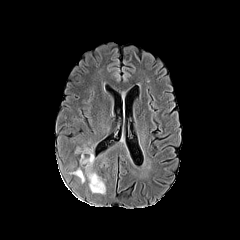
FLAIR magnetic resonance.
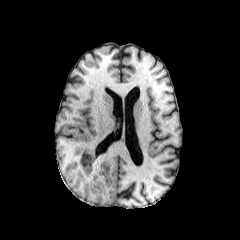
T1-weighted MR image.
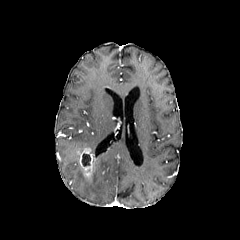
Post-contrast T1-weighted magnetic resonance.
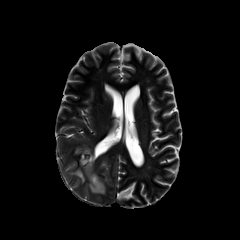
Same slice, T2-weighted MRI.
240x240, Axial plane, Head
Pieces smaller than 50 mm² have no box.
The necrotic tumor core lies within 82,154,90,166. The 2 largest peritumoral edema regions are bounded by 88,172,105,194; 74,169,85,182. The enhancing tumor is at 76,147,95,176.